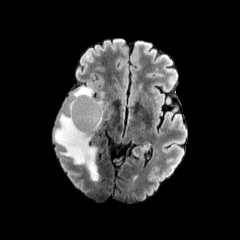
FLAIR MR image.
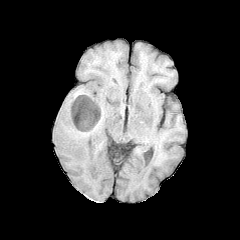
T1-weighted MR image.
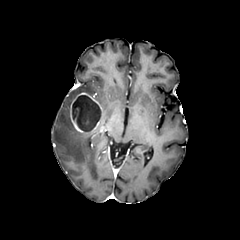
Post-contrast T1-weighted MR.
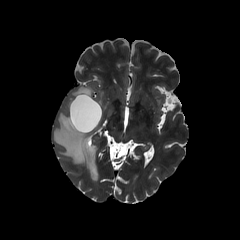
Same slice, T2-weighted magnetic resonance.
Brain | Image size 240x240
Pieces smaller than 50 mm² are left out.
The largest peritumoral edema region is bounded by rect(54, 86, 99, 181). The necrotic tumor core lies within rect(72, 95, 100, 131). The enhancing tumor is bounded by rect(70, 92, 103, 136).